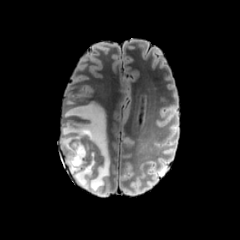
FLAIR MRI.
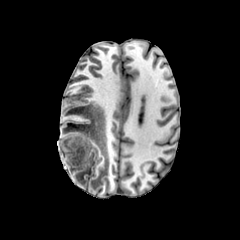
T1-weighted magnetic resonance.
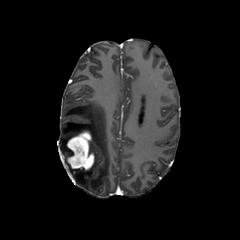
Post-contrast T1-weighted magnetic resonance.
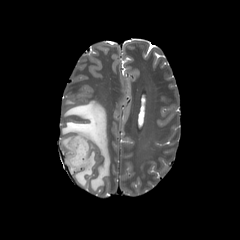
T2-weighted MRI of the same slice.
Axial view.
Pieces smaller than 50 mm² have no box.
The largest peritumoral edema region is located at box=[59, 100, 110, 192]. The enhancing tumor lies within box=[65, 130, 94, 170].